FLAIR MRI.
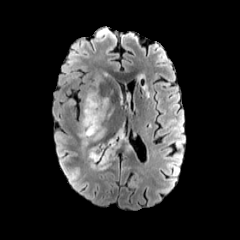
T1-weighted MR image.
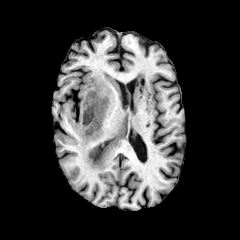
Post-contrast T1-weighted MRI.
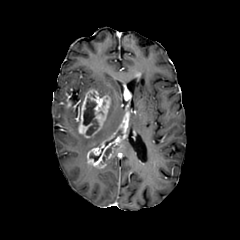
T2-weighted magnetic resonance.
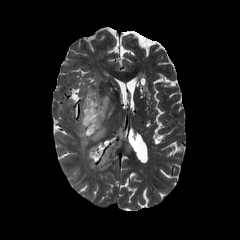
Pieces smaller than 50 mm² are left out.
peritumoral edema at region(80, 127, 105, 147); region(93, 78, 99, 89); region(138, 74, 149, 96)
enhancing tumor at region(78, 89, 110, 138); region(87, 113, 128, 168)
necrotic tumor core at region(102, 144, 113, 162); region(89, 148, 103, 161); region(83, 98, 98, 135); region(105, 129, 122, 146)